Slice index 77, Head
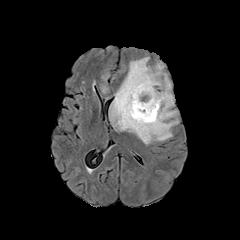
FLAIR MR image.
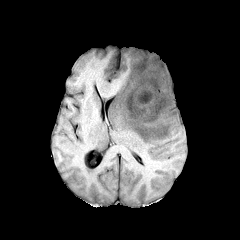
Same slice, T1-weighted magnetic resonance.
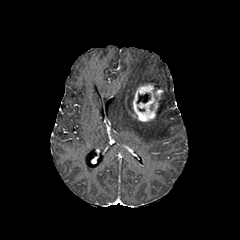
Post-contrast T1-weighted MRI.
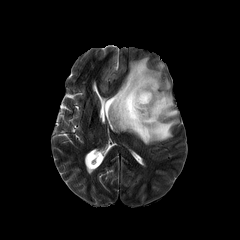
T2-weighted MR.
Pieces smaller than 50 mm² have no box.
{
  "peritumoral_edema": [
    "<bbox>109, 56, 179, 144</bbox>"
  ],
  "enhancing_tumor": [
    "<bbox>125, 83, 163, 121</bbox>"
  ],
  "necrotic_tumor_core": [
    "<bbox>137, 93, 150, 103</bbox>"
  ]
}